Image covers 240 mm x 240 mm | 240x240 px
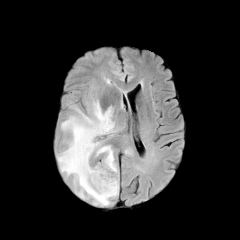
FLAIR magnetic resonance.
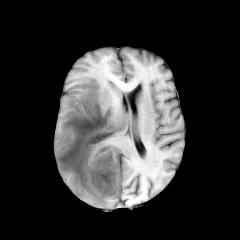
T1-weighted MR of the same slice.
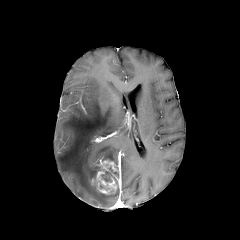
Post-contrast T1-weighted MRI.
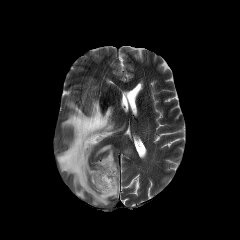
T2-weighted MRI of the same slice.
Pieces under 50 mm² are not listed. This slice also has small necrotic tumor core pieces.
The largest peritumoral edema region is at (57, 99, 119, 205). The enhancing tumor is at (91, 159, 118, 194).